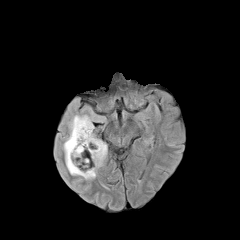
FLAIR MRI.
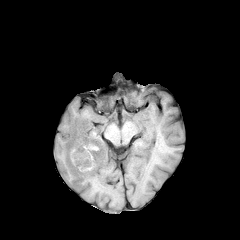
Same slice, T1-weighted MR image.
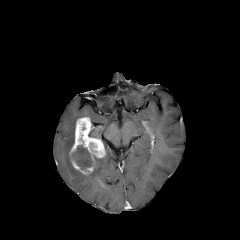
Post-contrast T1-weighted MR image of the same slice.
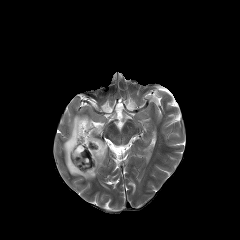
T2-weighted MR image.
Brain; Axial slice
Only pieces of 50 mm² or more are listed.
enhancing tumor: 69,117,105,174
peritumoral edema: 63,115,107,179
necrotic tumor core: 71,145,92,169